240x240; Image covers 240 mm x 240 mm
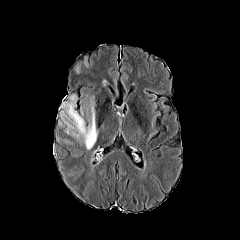
FLAIR MRI.
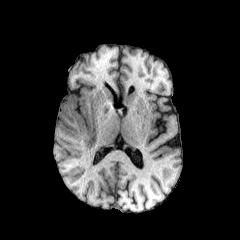
Same slice, T1-weighted MR image.
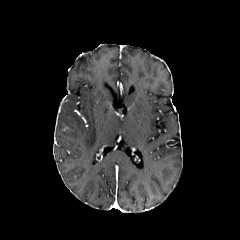
Post-contrast T1-weighted MR.
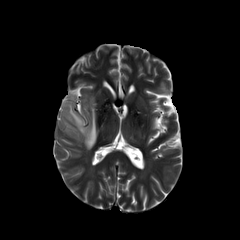
T2-weighted MR.
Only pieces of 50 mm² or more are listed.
peritumoral edema: bbox(60, 94, 98, 149); bbox(74, 61, 82, 73); bbox(84, 55, 93, 68)